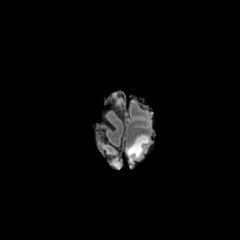
FLAIR MRI.
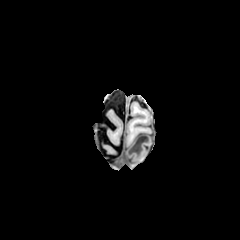
T1-weighted magnetic resonance.
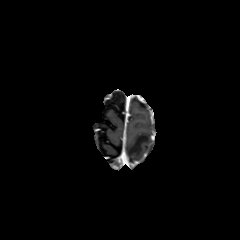
Same slice, post-contrast T1-weighted MRI.
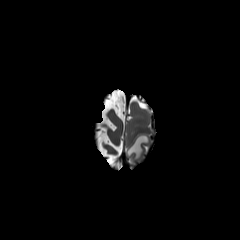
T2-weighted MRI.
240x240 px; Axial slice
peritumoral edema — <box>127,134,149,161</box>